Head | Slice 88 of 155 | 240x240 | Axial view
FLAIR MR.
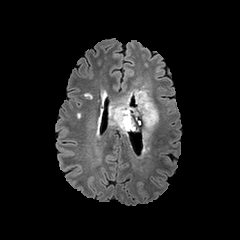
T1-weighted magnetic resonance.
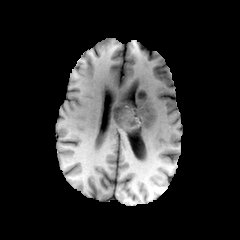
Post-contrast T1-weighted MR image.
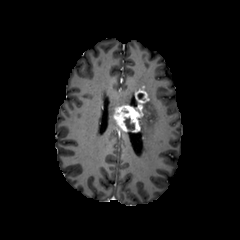
T2-weighted MRI.
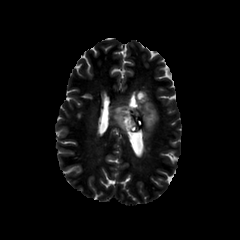
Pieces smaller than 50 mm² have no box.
The 2 largest peritumoral edema regions appear at box=[108, 93, 130, 133]; box=[138, 94, 157, 138]. The largest necrotic tumor core region is located at box=[124, 119, 134, 129]. The largest enhancing tumor region appears at box=[115, 86, 148, 131].